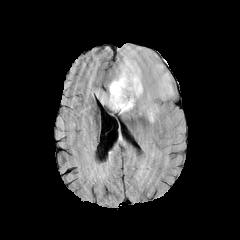
FLAIR magnetic resonance.
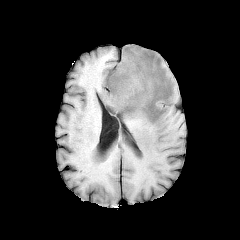
T1-weighted MR image.
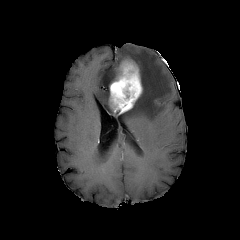
Same slice, post-contrast T1-weighted magnetic resonance.
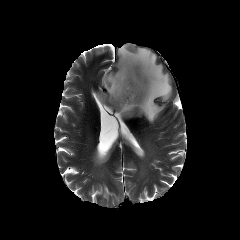
T2-weighted MR.
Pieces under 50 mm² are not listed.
• enhancing tumor: (110,59,142,114)
• peritumoral edema: (97,45,174,123)